Brain. Axial plane.
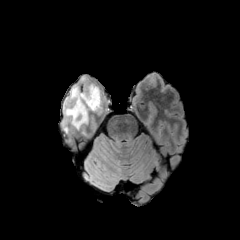
FLAIR MRI.
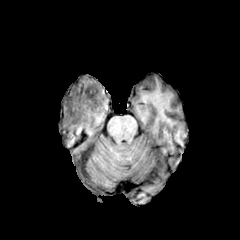
Same slice, T1-weighted magnetic resonance.
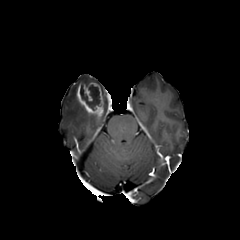
Same slice, post-contrast T1-weighted magnetic resonance.
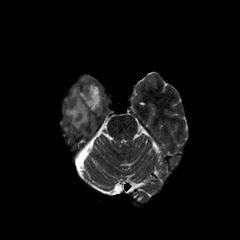
T2-weighted MR image of the same slice.
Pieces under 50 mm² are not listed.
The 2 largest peritumoral edema regions are located at 63, 84, 88, 128; 80, 77, 88, 84. The necrotic tumor core appears at 80, 85, 100, 110. The enhancing tumor is located at 76, 82, 103, 116.